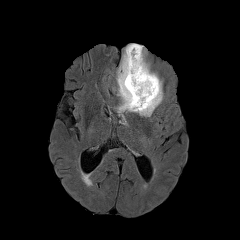
FLAIR MR image.
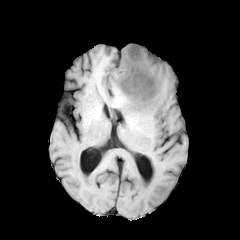
T1-weighted magnetic resonance.
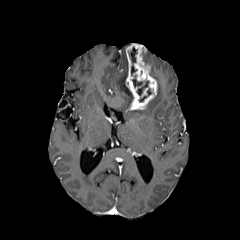
Post-contrast T1-weighted MR.
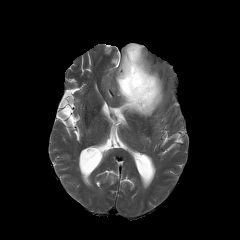
Same slice, T2-weighted MRI.
Brain, 240x240
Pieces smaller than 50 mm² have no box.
The largest peritumoral edema region lies within (x1=116, y1=50, x2=163, y2=116). The enhancing tumor is at (x1=125, y1=43, x2=157, y2=109). The 2 largest necrotic tumor core regions are bounded by (x1=132, y1=79, x2=148, y2=95), (x1=129, y1=47, x2=137, y2=62).